FLAIR MR image.
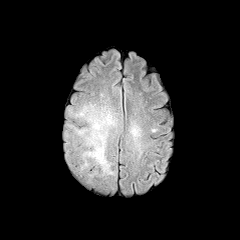
T1-weighted MR image.
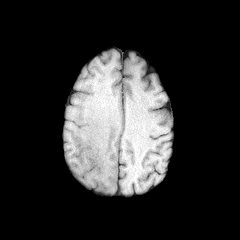
Post-contrast T1-weighted MRI.
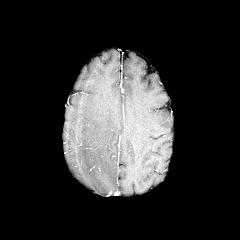
T2-weighted magnetic resonance.
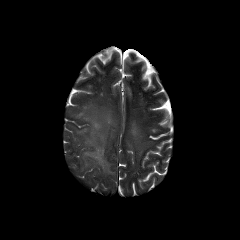
Axial plane. Head.
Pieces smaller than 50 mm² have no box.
• peritumoral edema: [x1=74, y1=103, x2=117, y2=176], [x1=130, y1=126, x2=139, y2=136]